Axial slice, Slice 97/155, Image size 240x240
FLAIR magnetic resonance.
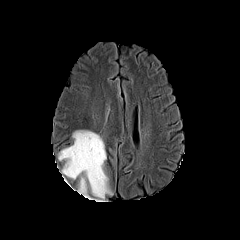
T1-weighted magnetic resonance.
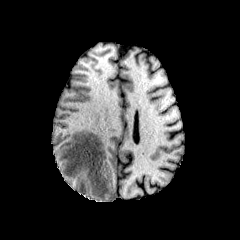
Post-contrast T1-weighted MRI.
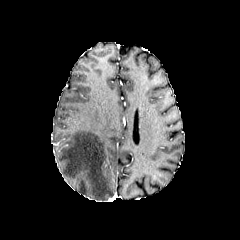
T2-weighted MRI.
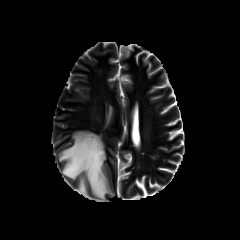
The peritumoral edema is located at (58, 130, 111, 201).